Axial slice | Slice index 124 | 240x240
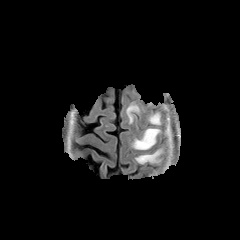
FLAIR MR image.
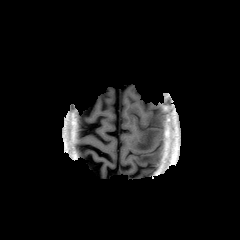
T1-weighted MR of the same slice.
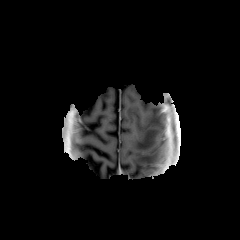
Post-contrast T1-weighted magnetic resonance.
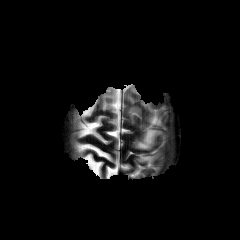
T2-weighted MR image.
4 peritumoral edema regions appear at 127,105,139,122; 136,150,160,163; 148,113,161,125; 133,128,160,149.